FLAIR magnetic resonance.
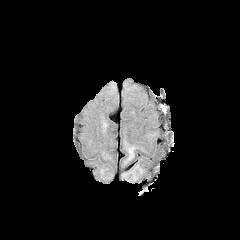
T1-weighted MR.
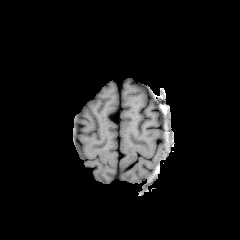
Post-contrast T1-weighted MR image.
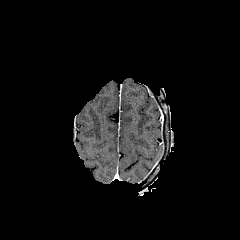
T2-weighted magnetic resonance.
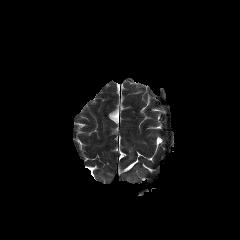
Axial plane. Head.
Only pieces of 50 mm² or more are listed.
peritumoral edema at bbox=[126, 145, 135, 160]